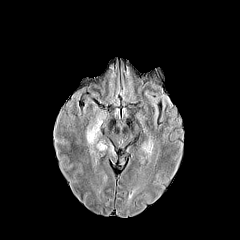
FLAIR MRI.
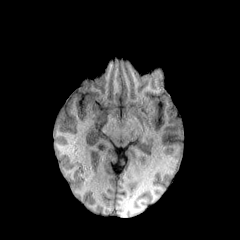
T1-weighted MRI of the same slice.
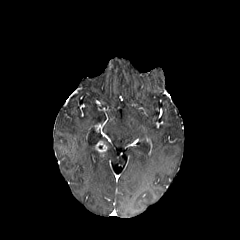
Post-contrast T1-weighted MR image of the same slice.
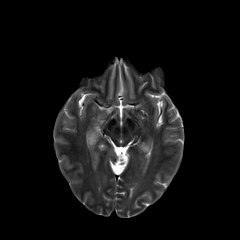
T2-weighted MR image.
Axial view; Brain; 240x240 px
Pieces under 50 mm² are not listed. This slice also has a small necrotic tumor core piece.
enhancing tumor: rect(95, 141, 107, 152) | peritumoral edema: rect(87, 116, 104, 150)